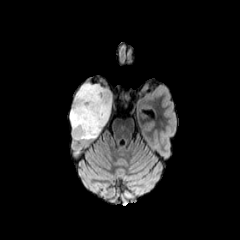
FLAIR MRI.
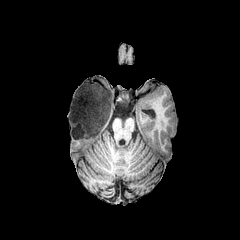
T1-weighted MR.
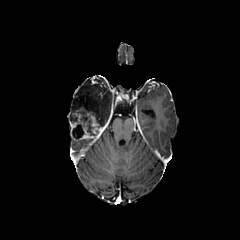
Same slice, post-contrast T1-weighted MRI.
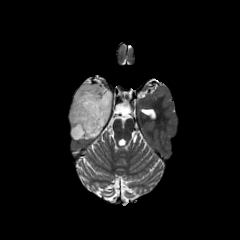
T2-weighted MR.
240x240 px, Axial slice, Brain
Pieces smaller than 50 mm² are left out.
enhancing_tumor:
  - <bbox>70, 108, 103, 140</bbox>
peritumoral_edema:
  - <bbox>69, 82, 112, 127</bbox>
necrotic_tumor_core:
  - <bbox>72, 124, 84, 138</bbox>
  - <bbox>79, 113, 96, 135</bbox>